Slice 117/155, Axial slice, Image size 240x240
FLAIR MRI.
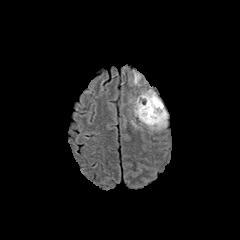
T1-weighted MRI.
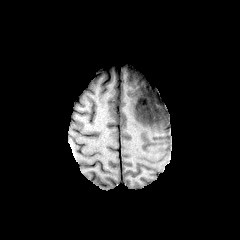
Post-contrast T1-weighted MR.
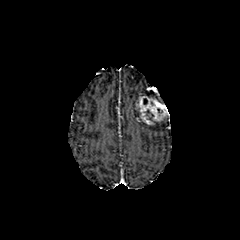
T2-weighted MRI.
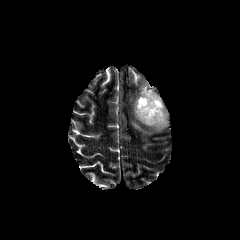
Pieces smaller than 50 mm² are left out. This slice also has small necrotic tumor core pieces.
enhancing tumor: bounding box (x1=136, y1=94, x2=168, y2=125)
peritumoral edema: bounding box (x1=134, y1=73, x2=139, y2=83), (x1=148, y1=119, x2=166, y2=129), (x1=141, y1=90, x2=160, y2=101)